Slice index 3 | Brain | Axial plane
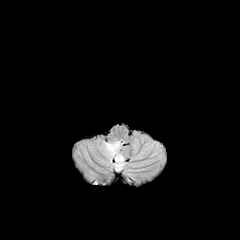
FLAIR MR.
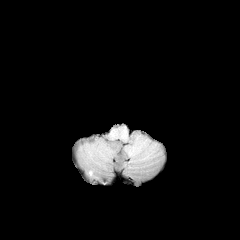
T1-weighted magnetic resonance of the same slice.
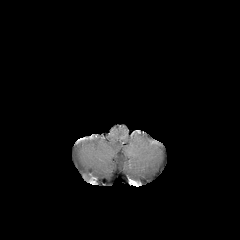
Post-contrast T1-weighted MR image of the same slice.
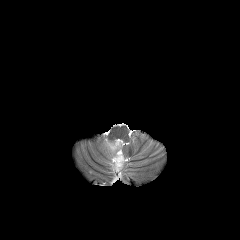
T2-weighted MR of the same slice.
peritumoral edema at [104, 142, 124, 170]